FLAIR MR.
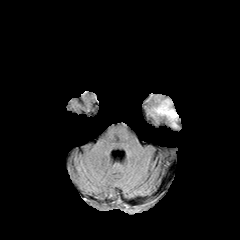
T1-weighted MR image.
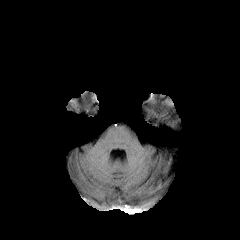
Post-contrast T1-weighted magnetic resonance.
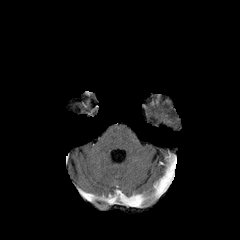
T2-weighted MR image.
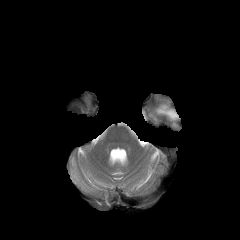
Brain
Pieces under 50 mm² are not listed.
<segmentation>
  <peritumoral_edema><box>154,100,178,120</box></peritumoral_edema>
</segmentation>